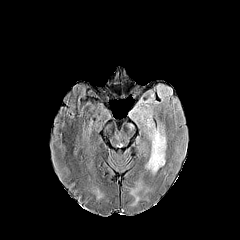
FLAIR MR image.
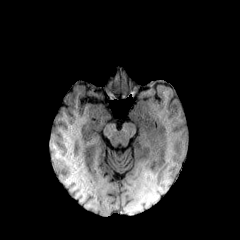
T1-weighted MR image.
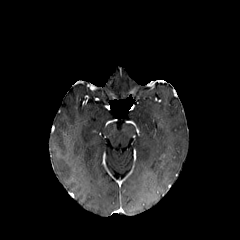
Same slice, post-contrast T1-weighted magnetic resonance.
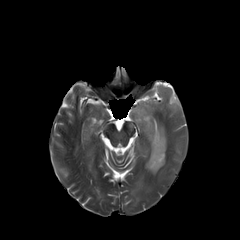
T2-weighted magnetic resonance.
Brain
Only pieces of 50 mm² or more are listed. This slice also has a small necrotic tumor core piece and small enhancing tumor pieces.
peritumoral edema at [131, 105, 166, 174]